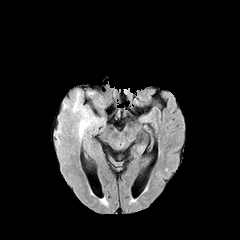
FLAIR MRI.
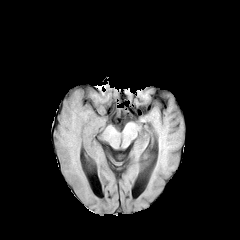
T1-weighted magnetic resonance.
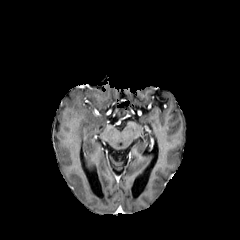
Same slice, post-contrast T1-weighted magnetic resonance.
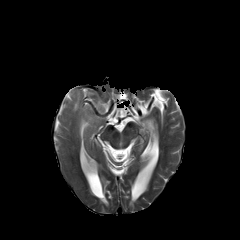
Same slice, T2-weighted MRI.
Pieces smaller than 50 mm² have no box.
peritumoral_edema:
  - x1=56, y1=89, x2=106, y2=141